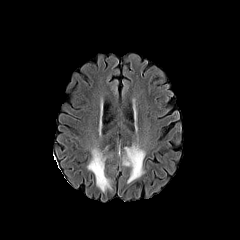
FLAIR magnetic resonance.
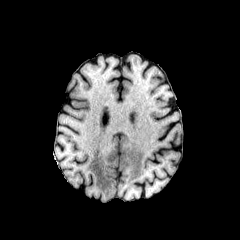
T1-weighted MR.
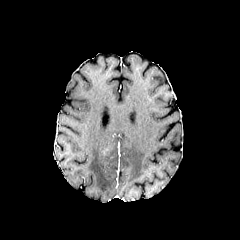
Post-contrast T1-weighted MR of the same slice.
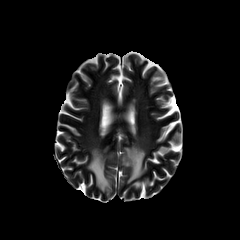
Same slice, T2-weighted MR.
Axial view.
peritumoral edema: bbox(122, 144, 145, 183); bbox(87, 147, 111, 192)